Axial slice | Image size 240x240
FLAIR MR image.
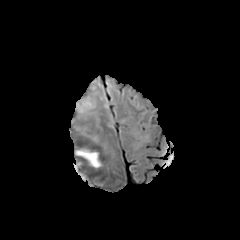
T1-weighted MR image.
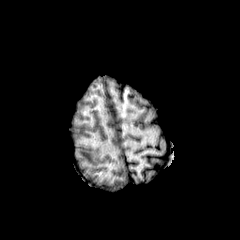
Post-contrast T1-weighted MRI.
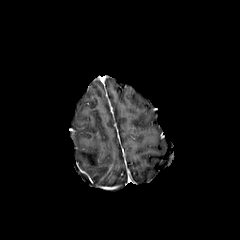
T2-weighted MR image.
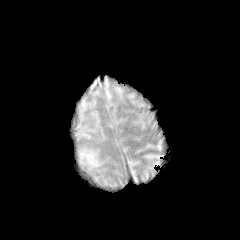
peritumoral edema — 76,147,100,167